Image covers 240 mm x 240 mm | Head
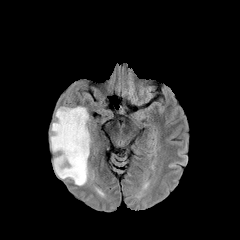
FLAIR MRI.
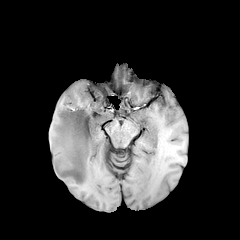
Same slice, T1-weighted MRI.
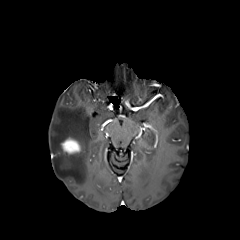
Post-contrast T1-weighted MRI.
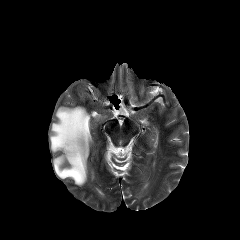
T2-weighted MR.
{
  "enhancing_tumor": [
    "[61, 137, 81, 155]"
  ],
  "peritumoral_edema": [
    "[50, 106, 90, 185]"
  ]
}